FLAIR MR.
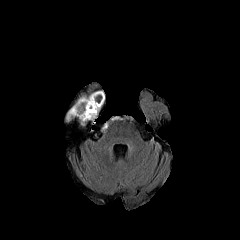
T1-weighted magnetic resonance.
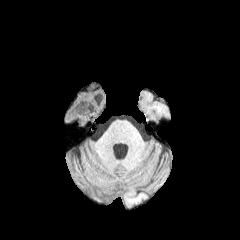
Post-contrast T1-weighted MRI.
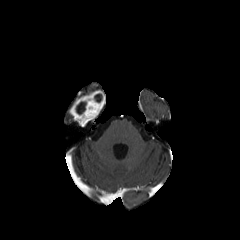
T2-weighted MR.
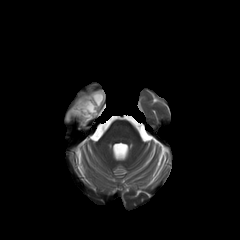
240x240
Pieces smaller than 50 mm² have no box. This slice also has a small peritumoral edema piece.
The enhancing tumor is at bbox=[69, 90, 105, 126]. 2 necrotic tumor core regions are bounded by bbox=[94, 94, 102, 102]; bbox=[76, 102, 86, 114].